FLAIR MRI.
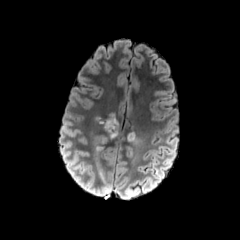
T1-weighted MR.
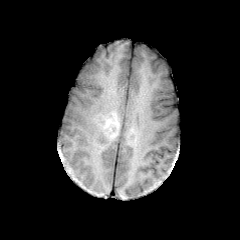
Post-contrast T1-weighted magnetic resonance.
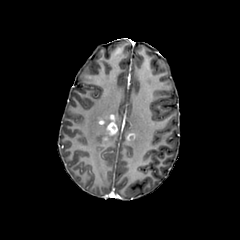
T2-weighted MRI.
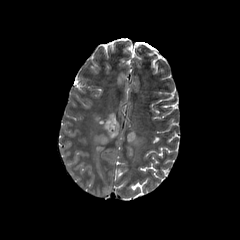
Brain, 240x240 px
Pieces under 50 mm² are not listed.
2 enhancing tumor regions are bounded by 127,133,134,140; 98,114,118,143. The 2 largest peritumoral edema regions appear at 128,134,146,154; 91,133,107,183.